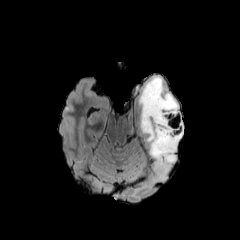
FLAIR MRI.
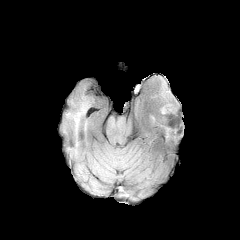
Same slice, T1-weighted MR image.
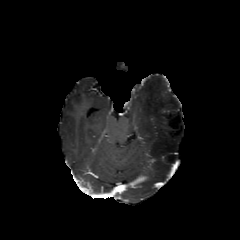
Same slice, post-contrast T1-weighted MRI.
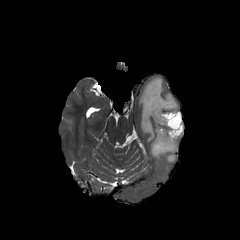
Same slice, T2-weighted magnetic resonance.
Head; 240x240
<segmentation>
  <peritumoral_edema>box(138, 77, 183, 180)</peritumoral_edema>
</segmentation>